Image covers 240 mm x 240 mm; Axial view; Slice 70 of 155; 240x240 px; Head
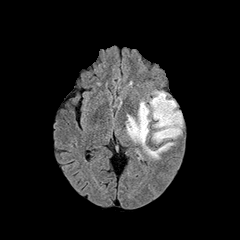
FLAIR MRI.
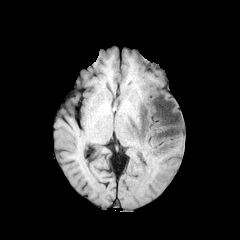
T1-weighted magnetic resonance of the same slice.
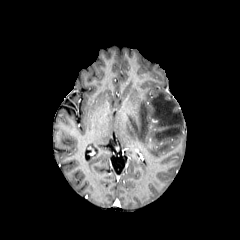
Same slice, post-contrast T1-weighted MR.
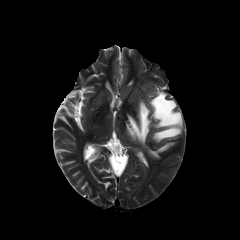
T2-weighted magnetic resonance.
peritumoral edema: box=[126, 101, 174, 158]; box=[149, 91, 182, 142]